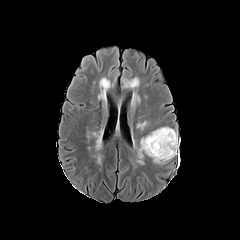
FLAIR magnetic resonance.
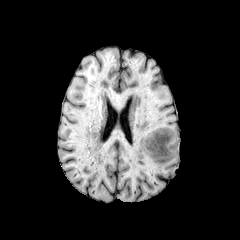
T1-weighted magnetic resonance.
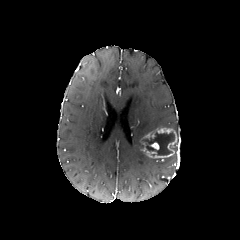
Post-contrast T1-weighted MR image.
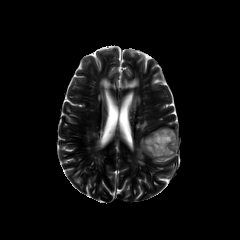
T2-weighted MR of the same slice.
Axial slice, 240x240
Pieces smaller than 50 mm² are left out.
necrotic_tumor_core:
  - box(141, 132, 174, 155)
enhancing_tumor:
  - box(140, 128, 180, 160)
  - box(149, 142, 159, 149)
peritumoral_edema:
  - box(153, 155, 175, 163)
  - box(137, 143, 143, 164)